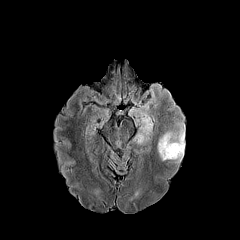
FLAIR MR.
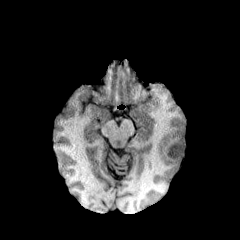
T1-weighted MRI.
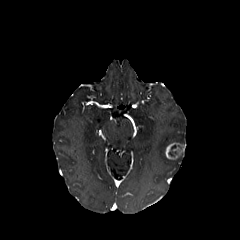
Post-contrast T1-weighted MR.
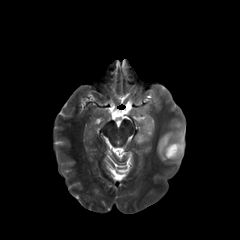
T2-weighted MR image.
Brain
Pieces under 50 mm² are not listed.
necrotic tumor core: 169, 145, 176, 156 | peritumoral edema: 135, 116, 152, 144; 157, 123, 185, 161 | enhancing tumor: 165, 142, 185, 159